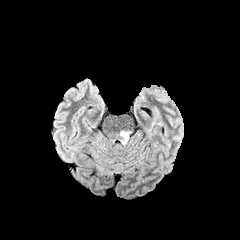
FLAIR MRI.
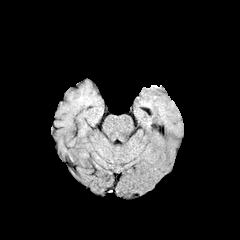
T1-weighted MR image of the same slice.
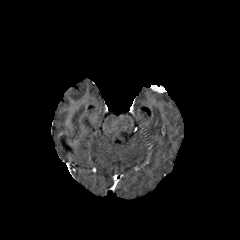
Post-contrast T1-weighted MR image.
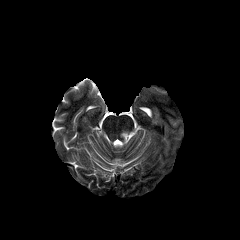
T2-weighted magnetic resonance.
Brain, Axial slice
Findings:
- peritumoral edema: [120, 131, 129, 144]